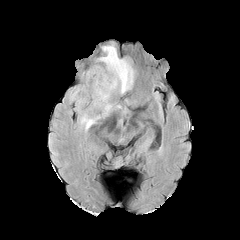
FLAIR magnetic resonance.
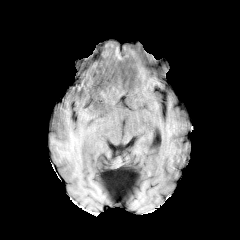
T1-weighted MR of the same slice.
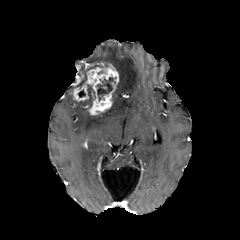
Post-contrast T1-weighted MR image.
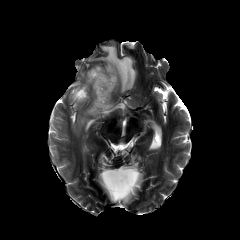
T2-weighted MRI.
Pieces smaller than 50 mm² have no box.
Findings:
* peritumoral edema: [80, 100, 122, 131], [99, 45, 135, 93]
* enhancing tumor: [71, 63, 119, 115]
* necrotic tumor core: [97, 77, 112, 95]